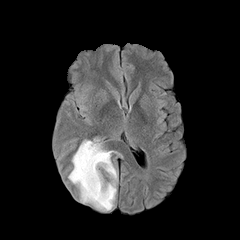
FLAIR MRI.
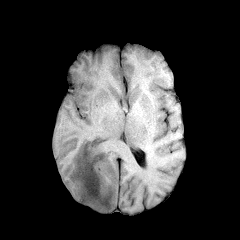
T1-weighted MR.
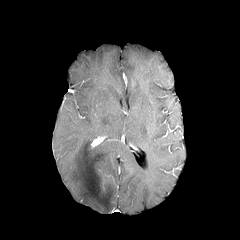
Post-contrast T1-weighted MR image.
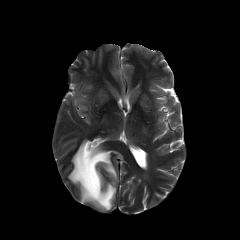
T2-weighted magnetic resonance of the same slice.
Head
Findings:
- peritumoral edema: [x1=68, y1=140, x2=117, y2=211]